FLAIR magnetic resonance.
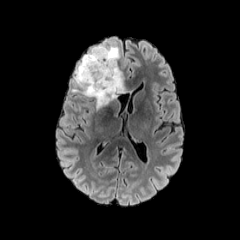
T1-weighted MR.
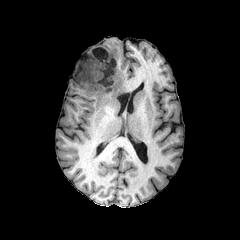
Post-contrast T1-weighted MR image.
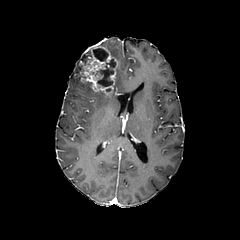
T2-weighted MRI.
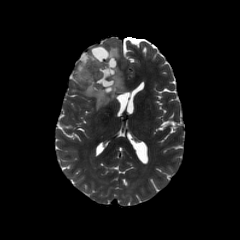
Brain | Image size 240x240 | Axial plane
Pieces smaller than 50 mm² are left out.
peritumoral edema — <bbox>108, 46, 119, 59</bbox>, <bbox>74, 62, 124, 109</bbox>
necrotic tumor core — <bbox>95, 59, 115, 86</bbox>, <bbox>93, 48, 108, 61</bbox>
enhancing tumor — <bbox>79, 44, 117, 94</bbox>